Axial slice. Slice index 92.
FLAIR MRI.
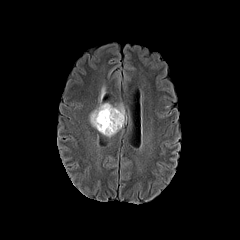
T1-weighted magnetic resonance.
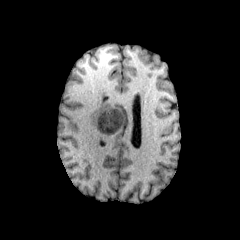
Post-contrast T1-weighted MR image.
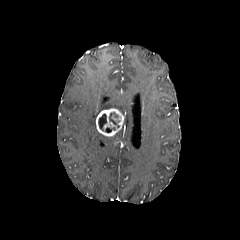
T2-weighted magnetic resonance.
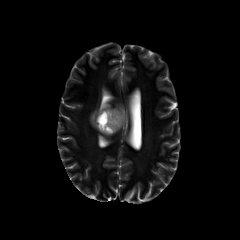
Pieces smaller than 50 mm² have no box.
peritumoral edema: x1=89, y1=103, x2=124, y2=127
necrotic tumor core: x1=98, y1=113, x2=106, y2=130; x1=109, y1=112, x2=118, y2=124
enhancing tumor: x1=96, y1=108, x2=124, y2=136